240x240; Axial view
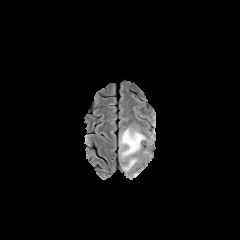
FLAIR MR image.
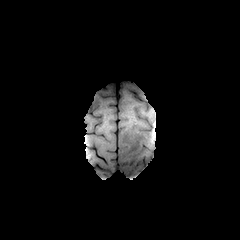
T1-weighted MR of the same slice.
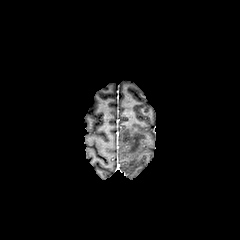
Post-contrast T1-weighted magnetic resonance.
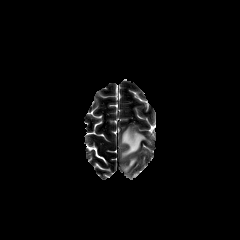
Same slice, T2-weighted MR image.
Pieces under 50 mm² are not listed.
<segmentation>
  <peritumoral_edema>x1=123 y1=158 x2=137 y2=172, x1=120 y1=128 x2=145 y2=158</peritumoral_edema>
</segmentation>